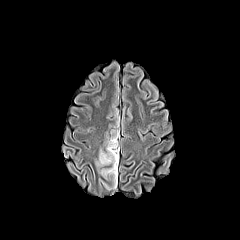
FLAIR MRI.
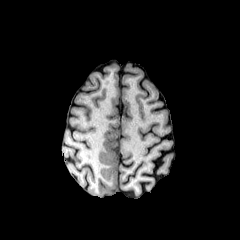
T1-weighted MRI.
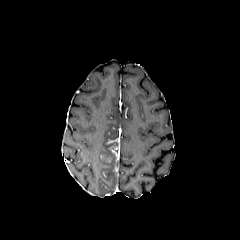
Post-contrast T1-weighted magnetic resonance.
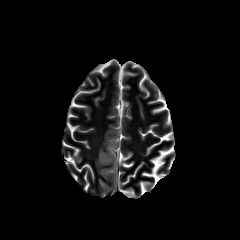
T2-weighted MRI.
240x240
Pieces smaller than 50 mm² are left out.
Segmented structures:
- peritumoral edema: [96, 131, 118, 179]